Brain, Slice 80 of 155, Image size 240x240, Axial plane
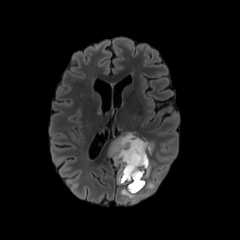
FLAIR MR.
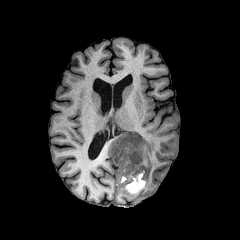
T1-weighted magnetic resonance of the same slice.
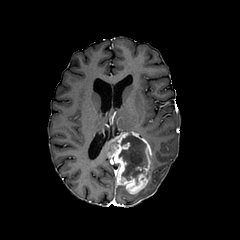
Post-contrast T1-weighted magnetic resonance.
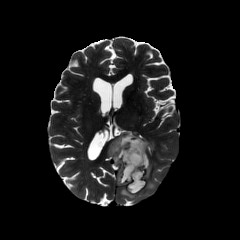
T2-weighted MR.
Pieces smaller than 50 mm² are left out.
peritumoral edema at [x1=145, y1=179, x2=156, y2=189], [x1=120, y1=188, x2=135, y2=198]
necrotic tumor core at [x1=119, y1=134, x2=147, y2=184]
enhancing tumor at [x1=108, y1=132, x2=152, y2=193]